Axial plane. Slice 90/155.
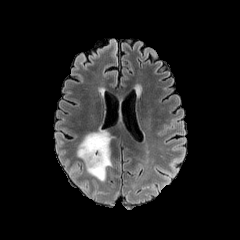
FLAIR MR.
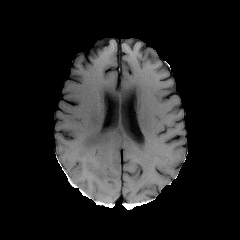
T1-weighted MR.
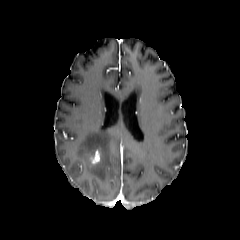
Post-contrast T1-weighted MR image.
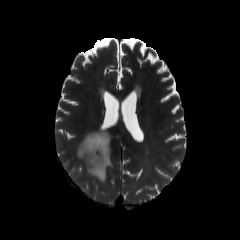
Same slice, T2-weighted MR.
- peritumoral edema: bbox=[77, 128, 112, 181]
- enhancing tumor: bbox=[89, 149, 100, 164]